FLAIR MR.
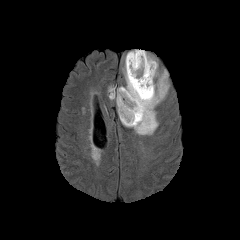
T1-weighted MR image.
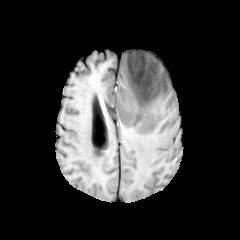
Post-contrast T1-weighted MR.
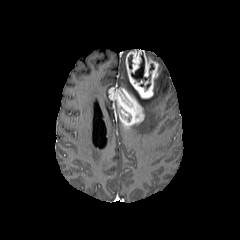
T2-weighted MR image.
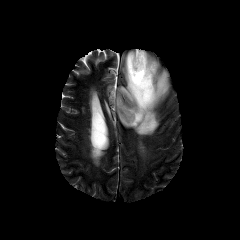
Axial slice | Brain
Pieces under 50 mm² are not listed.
The enhancing tumor appears at bbox=[108, 49, 158, 126]. The 2 largest peritumoral edema regions appear at bbox=[122, 63, 136, 94]; bbox=[127, 70, 169, 135]. The 2 largest necrotic tumor core regions are bounded by bbox=[131, 52, 150, 81]; bbox=[128, 55, 132, 69].